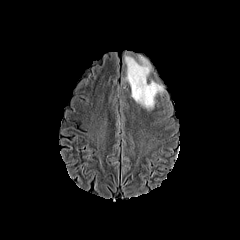
FLAIR MRI.
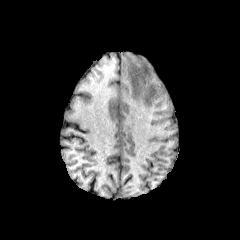
T1-weighted MR.
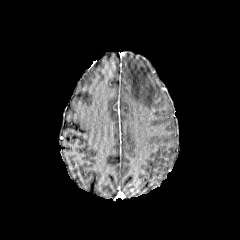
Post-contrast T1-weighted MR.
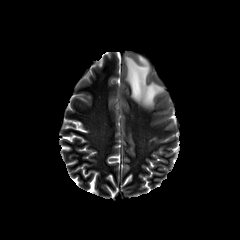
T2-weighted magnetic resonance.
Image size 240x240.
peritumoral edema = (left=124, top=54, right=165, bottom=110)